FLAIR MR image.
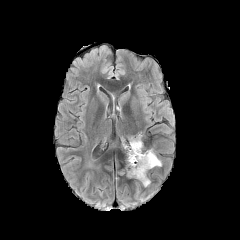
T1-weighted magnetic resonance.
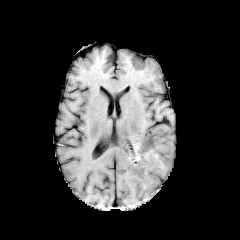
Post-contrast T1-weighted MR image.
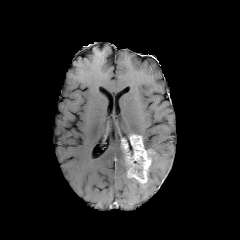
T2-weighted MR.
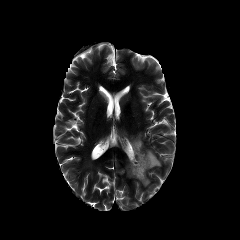
Head
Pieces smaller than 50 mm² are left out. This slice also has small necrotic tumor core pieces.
enhancing tumor = (122, 135, 151, 184)
peritumoral edema = (149, 149, 161, 168)